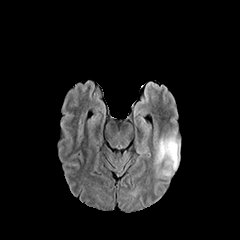
FLAIR MRI.
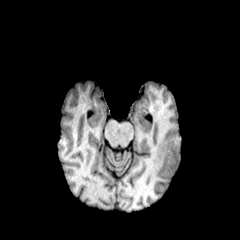
Same slice, T1-weighted MR.
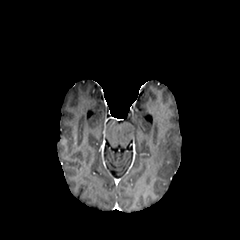
Post-contrast T1-weighted MRI of the same slice.
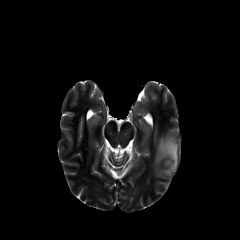
Same slice, T2-weighted MRI.
Axial plane
{
  "peritumoral_edema": [
    "[x1=154, y1=131, x2=180, y2=177]"
  ]
}